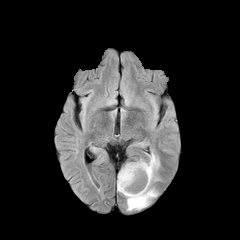
FLAIR MR image.
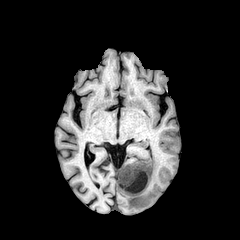
T1-weighted MR.
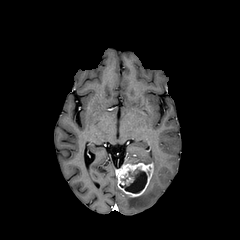
Post-contrast T1-weighted MR.
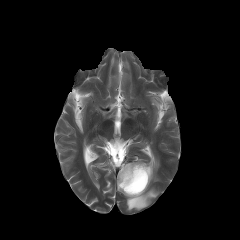
T2-weighted magnetic resonance.
Brain; Axial view
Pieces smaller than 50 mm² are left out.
The peritumoral edema is bounded by l=117, t=153, r=159, b=210. The enhancing tumor lies within l=117, t=163, r=153, b=197. The largest necrotic tumor core region is bounded by l=120, t=169, r=147, b=193.